FLAIR MR.
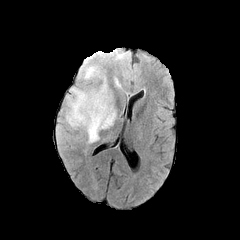
T1-weighted magnetic resonance.
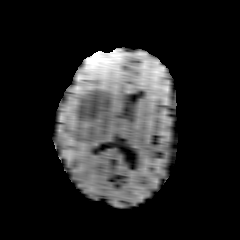
Post-contrast T1-weighted magnetic resonance.
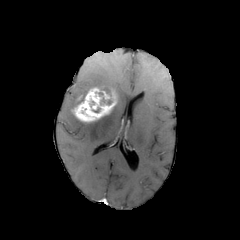
T2-weighted magnetic resonance.
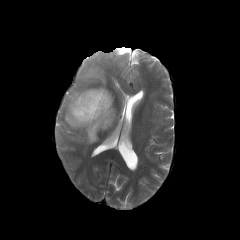
Axial slice
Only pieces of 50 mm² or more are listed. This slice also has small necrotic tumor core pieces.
The largest enhancing tumor region is bounded by region(72, 86, 116, 122). 2 peritumoral edema regions are bounded by region(66, 88, 115, 143); region(84, 67, 106, 85).